FLAIR magnetic resonance.
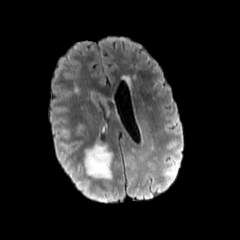
T1-weighted MR image.
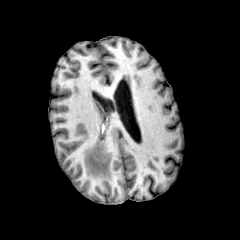
Post-contrast T1-weighted MR image.
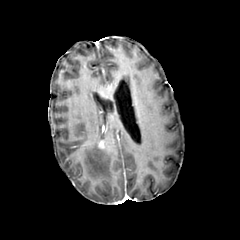
T2-weighted MR image.
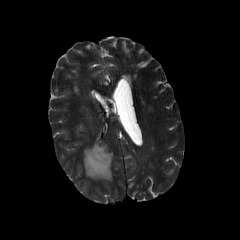
Image size 240x240
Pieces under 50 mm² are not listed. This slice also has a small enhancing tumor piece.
The peritumoral edema lies within bbox(84, 143, 112, 179).